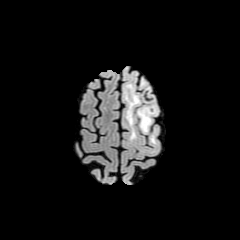
FLAIR magnetic resonance.
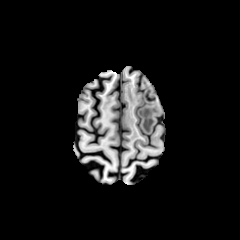
T1-weighted magnetic resonance of the same slice.
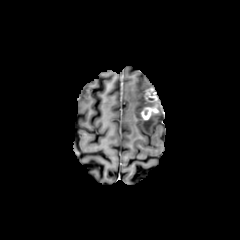
Post-contrast T1-weighted MR image.
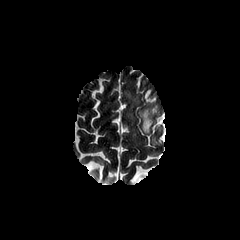
Same slice, T2-weighted magnetic resonance.
Brain
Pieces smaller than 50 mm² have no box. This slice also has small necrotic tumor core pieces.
peritumoral edema: (x1=125, y1=85, x2=140, y2=139), (x1=137, y1=103, x2=157, y2=133) | enhancing tumor: (x1=141, y1=88, x2=158, y2=120)